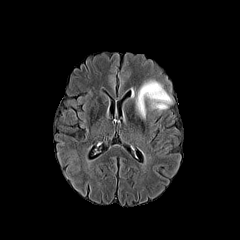
FLAIR MR image.
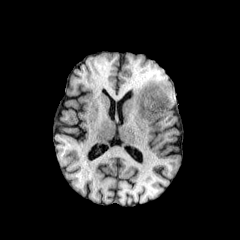
T1-weighted MR image.
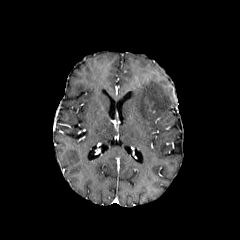
Post-contrast T1-weighted MRI.
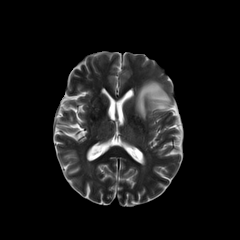
T2-weighted MR image.
Axial plane; Brain
peritumoral edema = rect(135, 79, 172, 120)